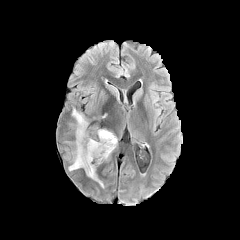
FLAIR MR.
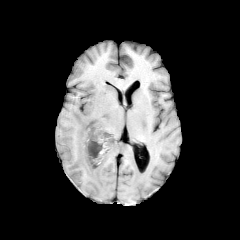
Same slice, T1-weighted magnetic resonance.
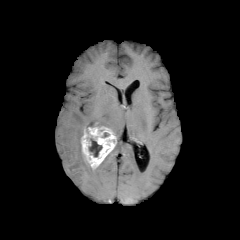
Post-contrast T1-weighted MR of the same slice.
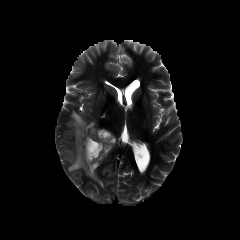
T2-weighted magnetic resonance of the same slice.
Brain
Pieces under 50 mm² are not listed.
{
  "necrotic_tumor_core": [
    "left=89, top=138, right=102, bottom=156"
  ],
  "enhancing_tumor": [
    "left=81, top=121, right=116, bottom=169"
  ],
  "peritumoral_edema": [
    "left=63, top=109, right=103, bottom=186"
  ]
}